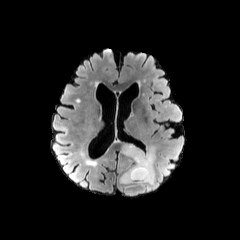
FLAIR MRI.
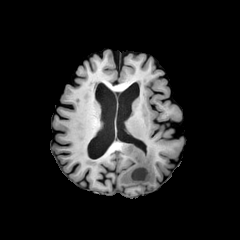
T1-weighted MRI of the same slice.
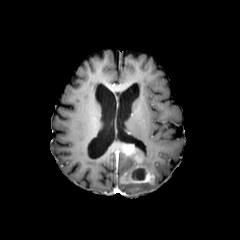
Post-contrast T1-weighted magnetic resonance.
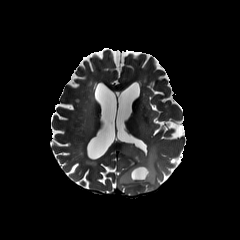
T2-weighted MRI of the same slice.
Head; 240x240 px
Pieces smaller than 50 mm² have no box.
necrotic tumor core: bounding box [131, 168, 145, 180]
enhancing tumor: bounding box [119, 143, 154, 184]
peritumoral edema: bounding box [118, 144, 160, 195]